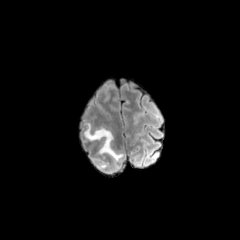
FLAIR MR image.
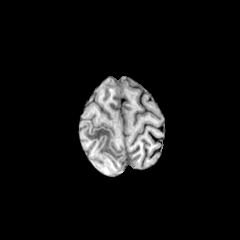
T1-weighted MRI.
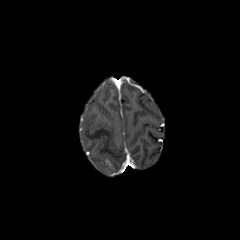
Post-contrast T1-weighted magnetic resonance.
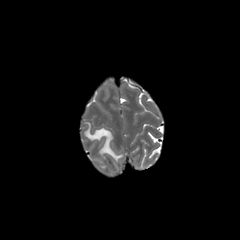
T2-weighted MR image.
Head.
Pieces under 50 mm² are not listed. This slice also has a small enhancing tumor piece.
The peritumoral edema lies within [84, 123, 123, 172].